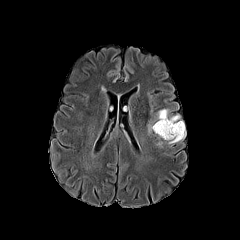
FLAIR MR image.
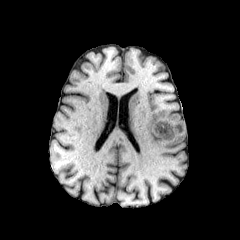
Same slice, T1-weighted magnetic resonance.
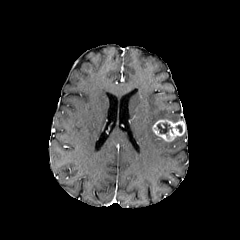
Post-contrast T1-weighted MRI.
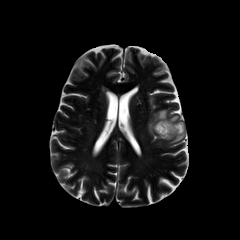
T2-weighted MR image.
Image size 240x240
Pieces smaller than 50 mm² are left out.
* enhancing tumor: x1=152, y1=119, x2=185, y2=141
* peritumoral edema: x1=167, y1=132, x2=185, y2=143; x1=148, y1=109, x2=179, y2=134
* necrotic tumor core: x1=157, y1=123, x2=171, y2=135